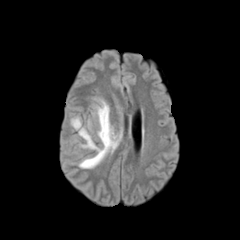
FLAIR MRI.
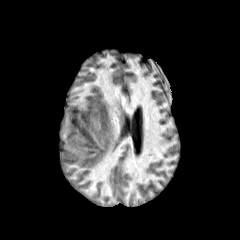
T1-weighted MR of the same slice.
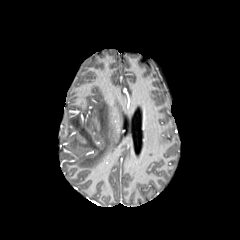
Post-contrast T1-weighted MR image of the same slice.
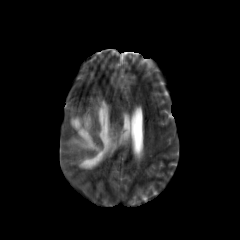
T2-weighted MR image of the same slice.
Axial plane
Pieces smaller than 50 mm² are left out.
peritumoral edema at [71, 101, 117, 168]